FLAIR magnetic resonance.
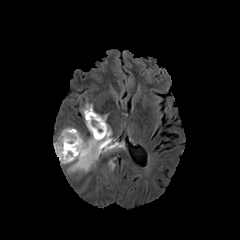
T1-weighted MRI.
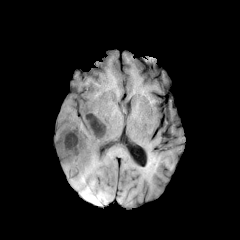
Post-contrast T1-weighted MR.
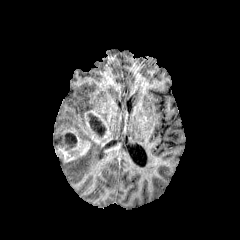
T2-weighted MR image.
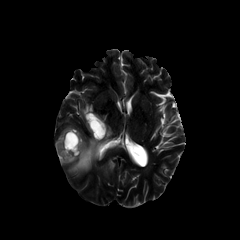
Head; 240x240 px; Axial view
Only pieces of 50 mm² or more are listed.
Annotated regions:
- necrotic tumor core: (left=104, top=140, right=117, bottom=149), (left=89, top=114, right=105, bottom=136), (left=64, top=132, right=77, bottom=145)
- enhancing tumor: (left=104, top=142, right=120, bottom=152), (left=84, top=110, right=113, bottom=147), (left=56, top=129, right=90, bottom=162)
- peritumoral edema: (left=59, top=129, right=105, bottom=173), (left=108, top=160, right=115, bottom=169), (left=81, top=103, right=93, bottom=115)